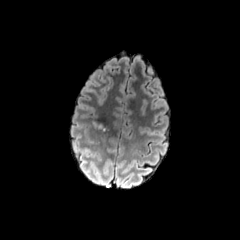
FLAIR MR image.
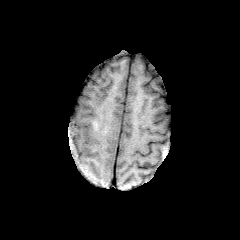
T1-weighted MR.
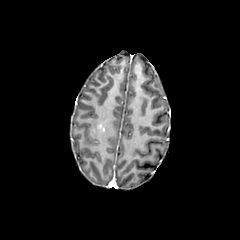
Same slice, post-contrast T1-weighted MRI.
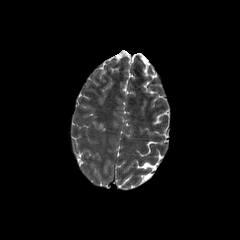
T2-weighted MR.
Brain. Axial plane.
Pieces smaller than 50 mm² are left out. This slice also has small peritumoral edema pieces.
The enhancing tumor is located at x1=97, y1=123, x2=105, y2=131.